Slice 84/155 | Head
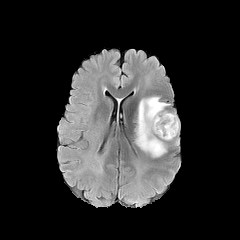
FLAIR MRI.
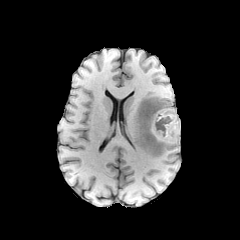
T1-weighted MR.
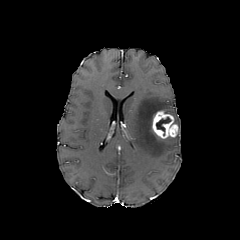
Post-contrast T1-weighted MR image.
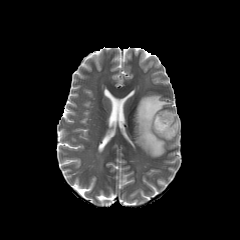
T2-weighted MR image.
<segmentation>
  <necrotic_tumor_core>156,117,170,132</necrotic_tumor_core>
  <enhancing_tumor>152,111,178,138</enhancing_tumor>
  <peritumoral_edema>135,96,173,157; 165,111,179,130</peritumoral_edema>
</segmentation>